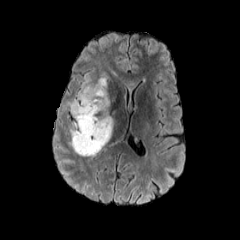
FLAIR MR.
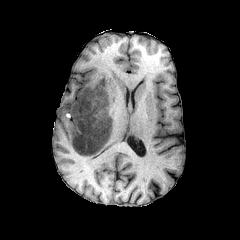
T1-weighted MR of the same slice.
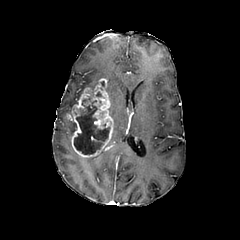
Post-contrast T1-weighted magnetic resonance of the same slice.
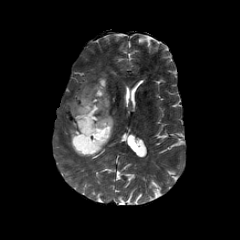
Same slice, T2-weighted MRI.
Image size 240x240. Head. Axial plane.
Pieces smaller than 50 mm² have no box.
enhancing tumor: box(71, 78, 113, 157) | necrotic tumor core: box(74, 98, 109, 155) | peritumoral edema: box(63, 79, 98, 116); box(70, 122, 75, 136)